FLAIR MR image.
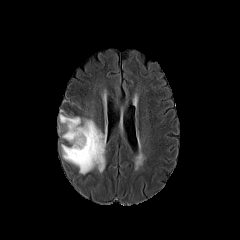
T1-weighted MRI.
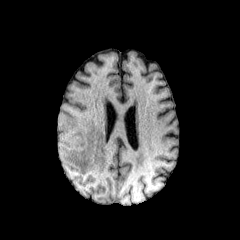
Post-contrast T1-weighted MR image.
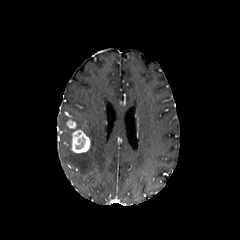
T2-weighted MR.
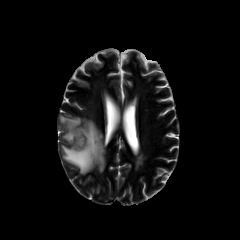
Axial plane.
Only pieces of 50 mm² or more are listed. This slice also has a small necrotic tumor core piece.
{
  "enhancing_tumor": [
    "66, 119, 90, 153"
  ],
  "peritumoral_edema": [
    "59, 114, 105, 174"
  ]
}